FLAIR MR.
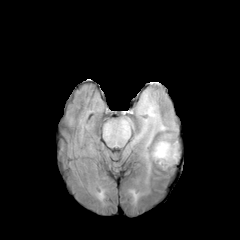
T1-weighted magnetic resonance.
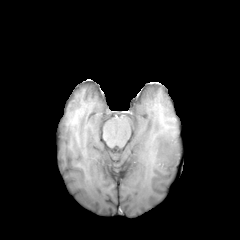
Post-contrast T1-weighted magnetic resonance.
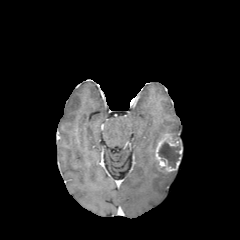
T2-weighted MR image.
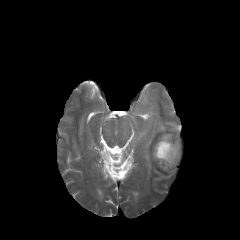
Axial plane | Head
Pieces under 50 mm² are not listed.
The necrotic tumor core is bounded by (158,142,180,167). The enhancing tumor is at (155,133,182,171). The 2 largest peritumoral edema regions are bounded by (133,95,178,160), (151,141,158,164).